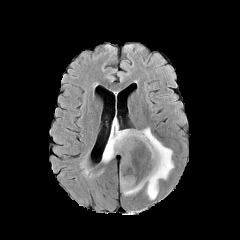
FLAIR MR image.
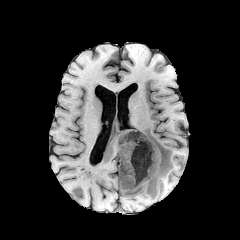
T1-weighted MR image.
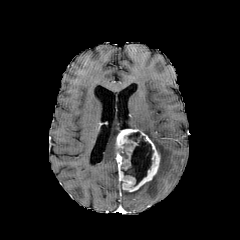
Post-contrast T1-weighted magnetic resonance.
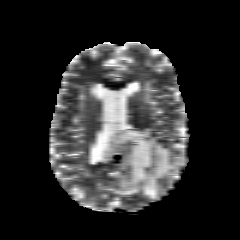
T2-weighted magnetic resonance.
Head
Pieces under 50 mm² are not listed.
enhancing tumor: (left=116, top=129, right=160, bottom=191)
necrotic tumor core: (left=121, top=132, right=153, bottom=185)
peritumoral edema: (left=102, top=120, right=119, bottom=162), (left=122, top=128, right=174, bottom=199)